Slice index 100. Head. Image width 240 mm.
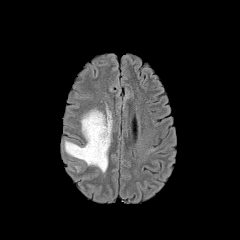
FLAIR MRI.
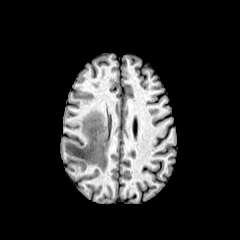
Same slice, T1-weighted magnetic resonance.
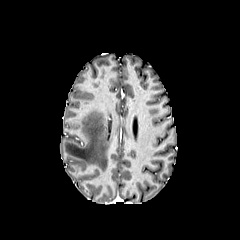
Post-contrast T1-weighted MR.
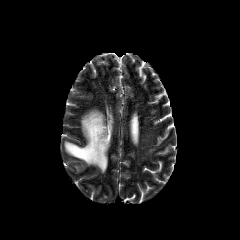
Same slice, T2-weighted MR image.
peritumoral edema = (x1=64, y1=109, x2=111, y2=172)